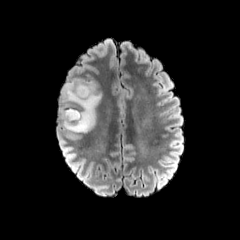
FLAIR MR image.
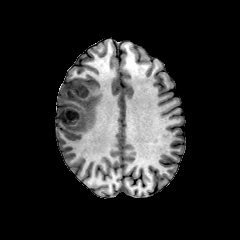
Same slice, T1-weighted MR.
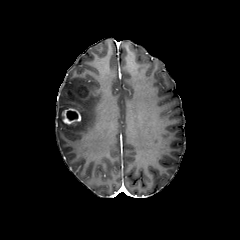
Same slice, post-contrast T1-weighted MRI.
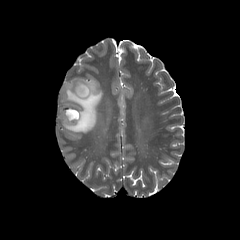
T2-weighted MRI.
Axial slice | 240x240
{
  "necrotic_tumor_core": [
    "l=66, t=110, r=78, b=120"
  ],
  "peritumoral_edema": [
    "l=58, t=78, r=101, b=132"
  ],
  "enhancing_tumor": [
    "l=62, t=108, r=81, b=124"
  ]
}